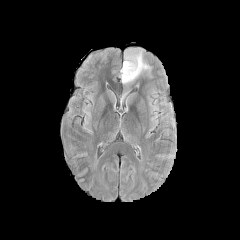
FLAIR MR.
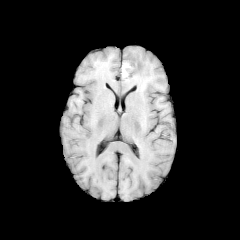
T1-weighted MR.
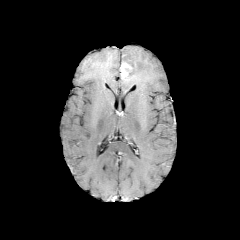
Post-contrast T1-weighted MRI of the same slice.
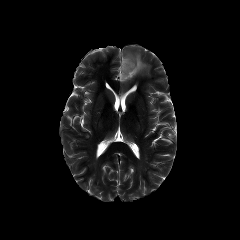
T2-weighted magnetic resonance of the same slice.
Brain.
enhancing tumor = bbox(121, 62, 131, 80)
peritumoral edema = bbox(121, 49, 150, 84)
necrotic tumor core = bbox(124, 59, 136, 79)